Axial slice, Brain
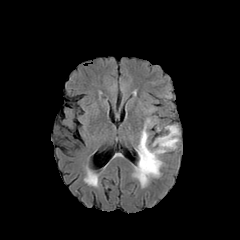
FLAIR MR.
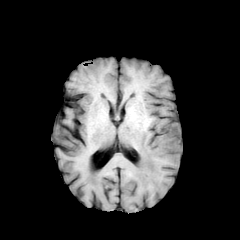
T1-weighted MR image.
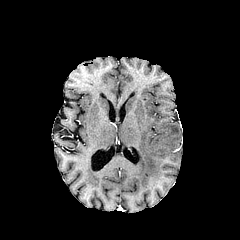
Post-contrast T1-weighted magnetic resonance.
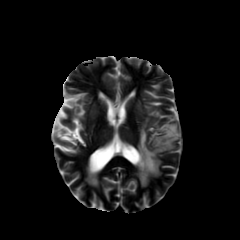
T2-weighted MRI.
{
  "peritumoral_edema": [
    "[135, 125, 179, 186]"
  ]
}